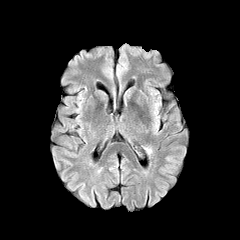
FLAIR MR.
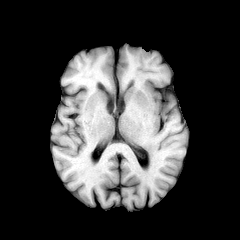
T1-weighted MRI.
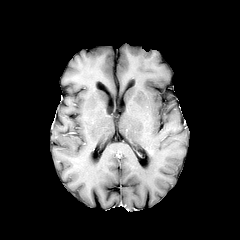
Same slice, post-contrast T1-weighted MRI.
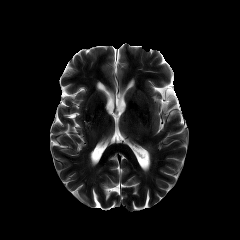
T2-weighted MR image of the same slice.
Brain | Axial slice
enhancing tumor at 144,145,154,154